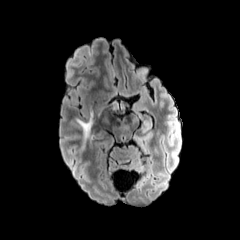
FLAIR magnetic resonance.
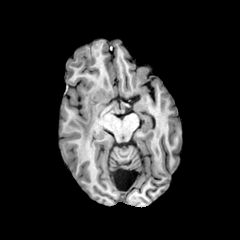
T1-weighted magnetic resonance.
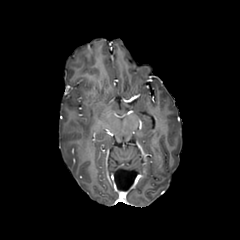
Post-contrast T1-weighted MRI.
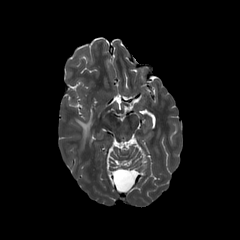
T2-weighted MR.
240x240 | Brain | Axial slice
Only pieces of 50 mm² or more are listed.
• peritumoral edema: (77, 111, 95, 138)